FLAIR MR.
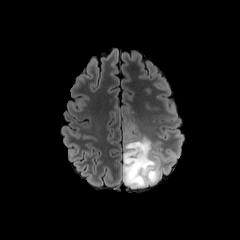
T1-weighted MRI.
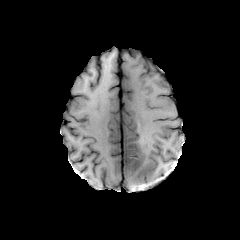
Post-contrast T1-weighted magnetic resonance.
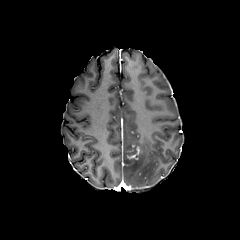
T2-weighted MR.
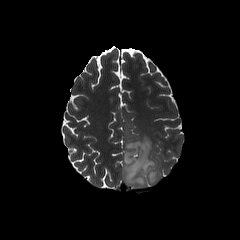
Axial plane.
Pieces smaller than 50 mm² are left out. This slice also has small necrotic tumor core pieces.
peritumoral edema: 122 133 167 187
enhancing tumor: 127 146 140 159